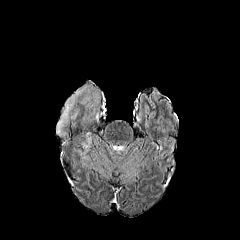
FLAIR MR.
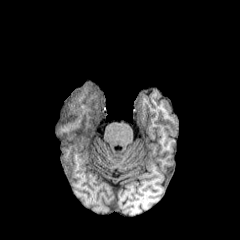
T1-weighted MR image.
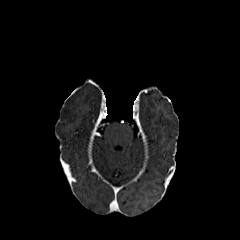
Same slice, post-contrast T1-weighted magnetic resonance.
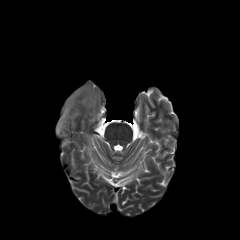
Same slice, T2-weighted MR image.
Axial slice
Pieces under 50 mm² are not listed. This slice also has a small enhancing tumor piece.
peritumoral edema at (81, 92, 99, 108), (56, 86, 88, 136)